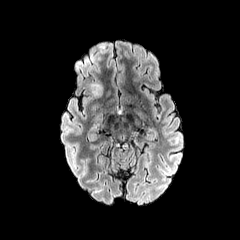
FLAIR MRI.
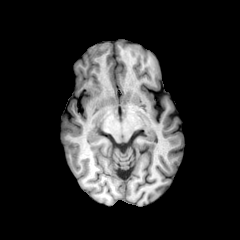
T1-weighted MR image.
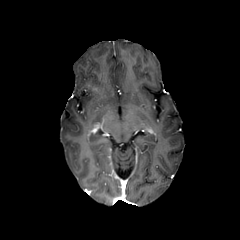
Post-contrast T1-weighted MR image.
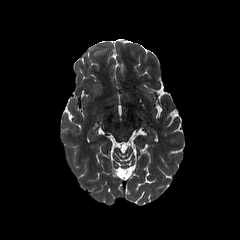
T2-weighted MRI.
240x240 px
Annotated regions:
• peritumoral edema: [x1=88, y1=82, x2=102, y2=96]
• enhancing tumor: [x1=92, y1=87, x2=100, y2=93]